Axial view. Image width 240 mm, 1.00 mm slice spacing.
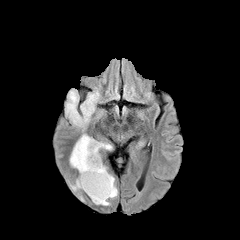
FLAIR MRI.
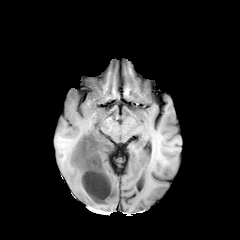
T1-weighted MR image.
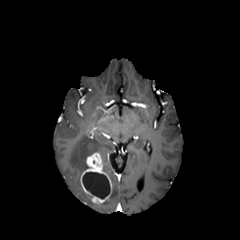
Post-contrast T1-weighted MR image.
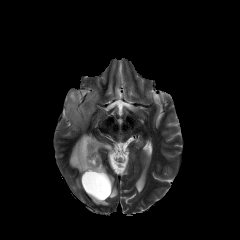
Same slice, T2-weighted MR.
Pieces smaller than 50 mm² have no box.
The largest necrotic tumor core region appears at <box>82,172,110,198</box>. The 4 largest peritumoral edema regions appear at <box>65,89,98,127</box>, <box>103,164,117,198</box>, <box>70,134,112,176</box>, <box>71,177,82,190</box>. The enhancing tumor is bounded by <box>80,152,112,203</box>.